Image width 240 mm. Brain. Axial slice.
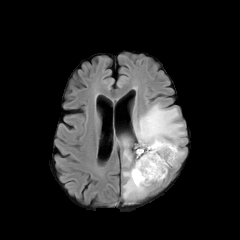
FLAIR MRI.
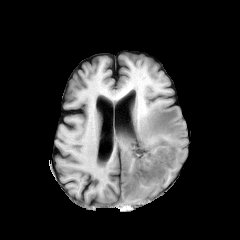
T1-weighted MR.
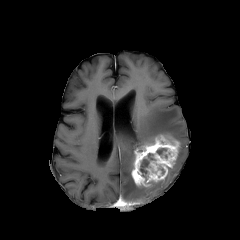
Post-contrast T1-weighted MR.
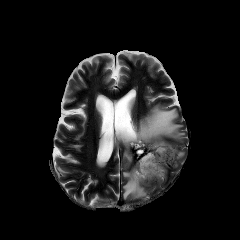
T2-weighted MR.
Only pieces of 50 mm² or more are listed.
enhancing tumor: bbox=[131, 134, 179, 186] | peritumoral edema: bbox=[122, 137, 132, 167]; bbox=[122, 165, 150, 199]; bbox=[173, 148, 184, 166]; bbox=[133, 104, 185, 148] | necrotic tumor core: bbox=[140, 159, 149, 173]